FLAIR MR.
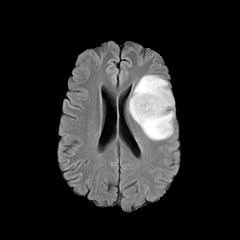
T1-weighted MR.
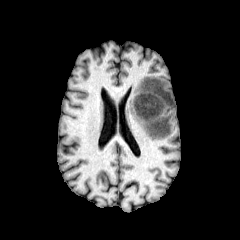
Post-contrast T1-weighted MR.
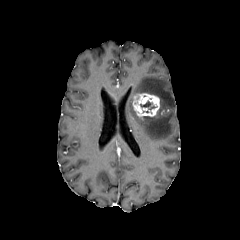
T2-weighted MR.
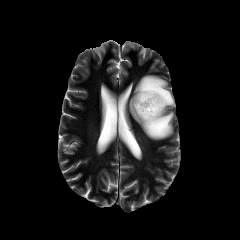
Axial slice; Head
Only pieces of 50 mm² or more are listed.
Annotated regions:
* peritumoral edema: (128,75,174,140)
* enhancing tumor: (132,93,160,118)
* necrotic tumor core: (140,101,155,109)